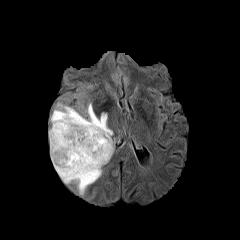
FLAIR MRI.
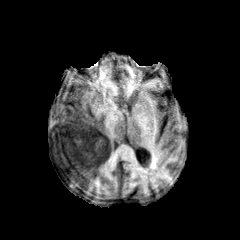
T1-weighted magnetic resonance.
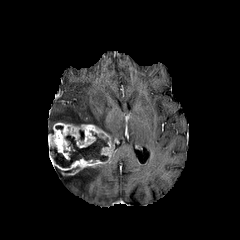
Post-contrast T1-weighted magnetic resonance of the same slice.
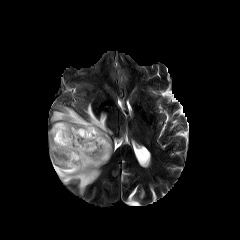
T2-weighted MR image of the same slice.
Axial plane. Head.
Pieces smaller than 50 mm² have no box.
The enhancing tumor appears at left=48, top=122, right=113, bottom=175. The largest necrotic tumor core region is located at left=50, top=132, right=108, bottom=167. The 2 largest peritumoral edema regions are bounded by left=55, top=165, right=103, bottom=194; left=49, top=103, right=113, bottom=139.